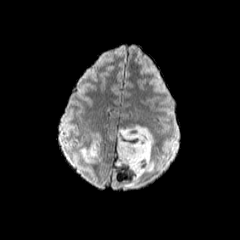
FLAIR magnetic resonance.
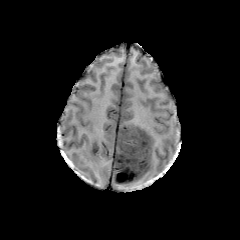
T1-weighted MR image.
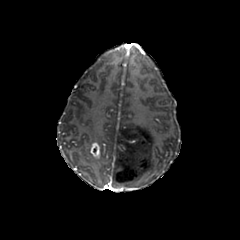
Same slice, post-contrast T1-weighted MR image.
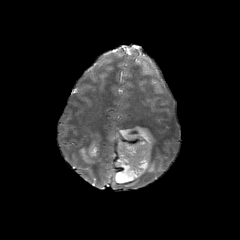
T2-weighted MR image.
Head | 240x240 px
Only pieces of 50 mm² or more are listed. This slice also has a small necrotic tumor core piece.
The 2 largest peritumoral edema regions are located at (left=112, top=125, right=154, bottom=186), (left=80, top=134, right=102, bottom=165). The enhancing tumor lies within (left=86, top=141, right=99, bottom=157).